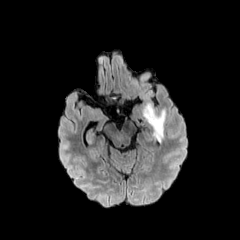
FLAIR MR image.
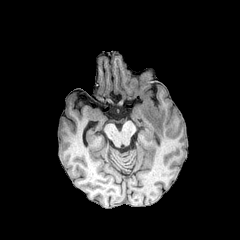
T1-weighted MRI.
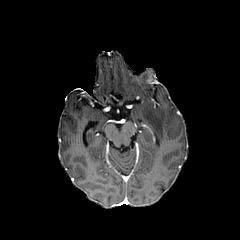
Post-contrast T1-weighted MRI.
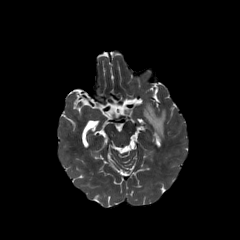
T2-weighted MR of the same slice.
peritumoral edema — 143,102,165,141